Image width 240 mm, Axial slice, Image size 240x240
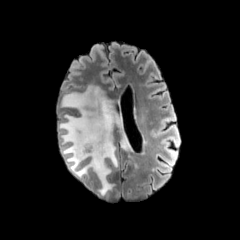
FLAIR MR image.
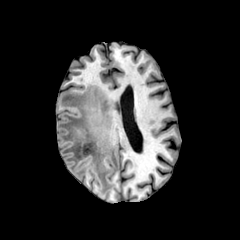
Same slice, T1-weighted MRI.
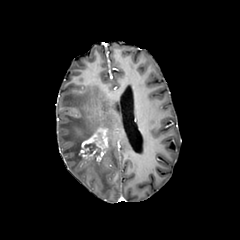
Post-contrast T1-weighted MR image.
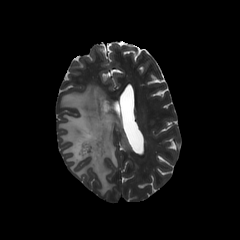
T2-weighted MR of the same slice.
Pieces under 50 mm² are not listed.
The largest necrotic tumor core region is bounded by [84,142,101,157]. The peritumoral edema lies within [58,85,138,195]. The enhancing tumor is at [78,129,108,161].